FLAIR MRI.
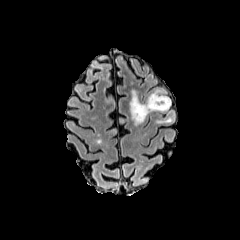
T1-weighted MR image.
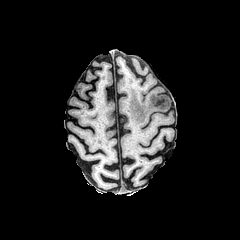
Post-contrast T1-weighted MR.
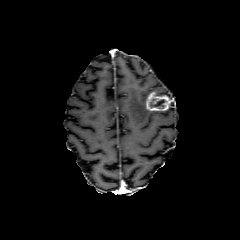
T2-weighted MR image.
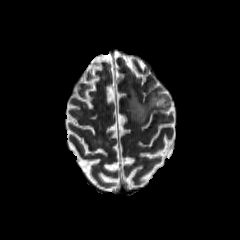
240x240, Axial slice
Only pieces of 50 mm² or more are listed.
The enhancing tumor is at rect(146, 92, 171, 111). The 2 largest peritumoral edema regions are located at rect(129, 90, 150, 124); rect(151, 89, 165, 94). The necrotic tumor core is located at rect(149, 98, 165, 108).